FLAIR MR.
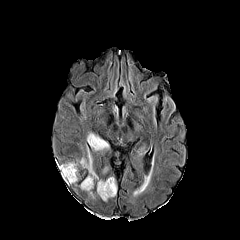
T1-weighted magnetic resonance.
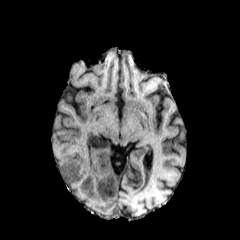
Post-contrast T1-weighted MR.
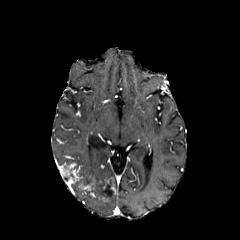
T2-weighted MRI.
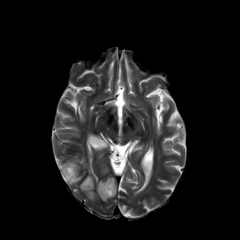
Head. 240x240 px.
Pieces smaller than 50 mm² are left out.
necrotic tumor core: x1=99 y1=180 x2=113 y2=196
enhancing tumor: x1=79 y1=179 x2=95 y2=197, x1=102 y1=177 x2=116 y2=194, x1=58 y1=162 x2=82 y2=184
peritumoral edema: x1=80 y1=147 x2=98 y2=181, x1=87 y1=132 x2=109 y2=150, x1=97 y1=180 x2=104 y2=198